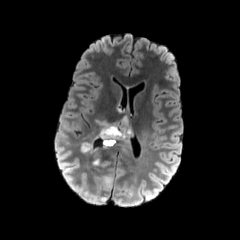
FLAIR magnetic resonance.
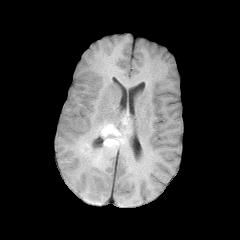
Same slice, T1-weighted MRI.
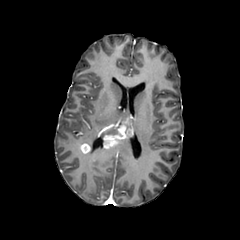
Same slice, post-contrast T1-weighted MR image.
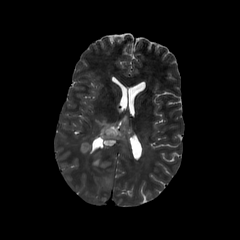
T2-weighted MRI of the same slice.
240x240
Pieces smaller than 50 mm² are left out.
Segmented structures:
- peritumoral edema: <bbox>97, 121, 117, 128</bbox>, <bbox>103, 175, 112, 186</bbox>, <bbox>113, 138, 132, 157</bbox>, <bbox>82, 132, 110, 167</bbox>, <bbox>140, 132, 147, 144</bbox>
- enhancing tumor: <bbox>98, 118, 132, 148</bbox>, <bbox>80, 144, 90, 152</bbox>
- necrotic tumor core: <bbox>101, 123, 121, 137</bbox>